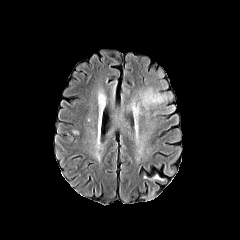
FLAIR MRI.
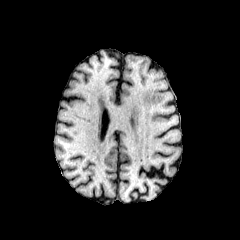
Same slice, T1-weighted MR.
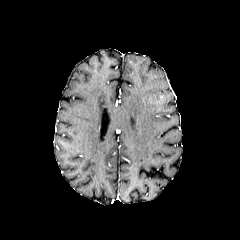
Post-contrast T1-weighted MR image of the same slice.
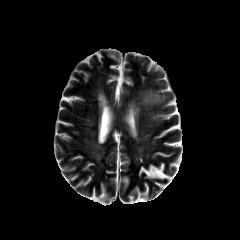
Same slice, T2-weighted MRI.
240x240 px; Axial slice
The peritumoral edema is at 134:88:167:112.